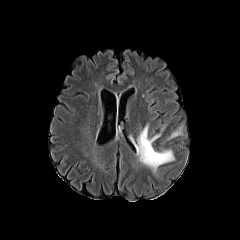
FLAIR magnetic resonance.
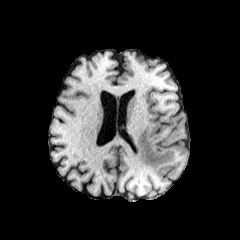
T1-weighted MRI.
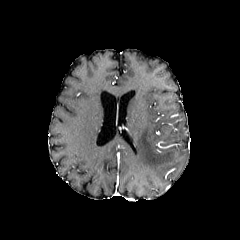
Post-contrast T1-weighted MR image.
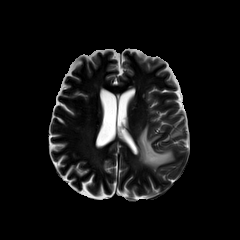
Same slice, T2-weighted MRI.
Brain. Axial view.
peritumoral_edema:
  - x1=167, y1=125, x2=183, y2=140
  - x1=136, y1=123, x2=175, y2=172